FLAIR MRI.
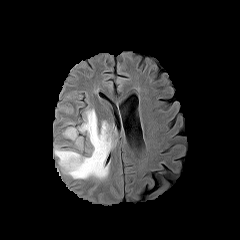
T1-weighted MR.
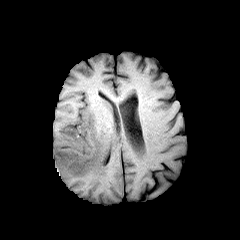
Post-contrast T1-weighted MR image.
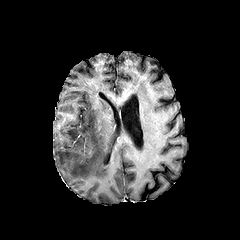
T2-weighted MR.
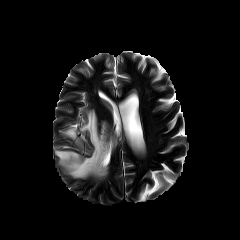
Axial plane; 240x240
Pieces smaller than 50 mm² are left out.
{
  "peritumoral_edema": [
    "bbox=[63, 127, 83, 149]",
    "bbox=[54, 109, 116, 179]"
  ]
}